240x240
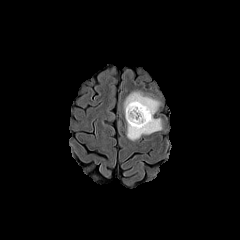
FLAIR MR image.
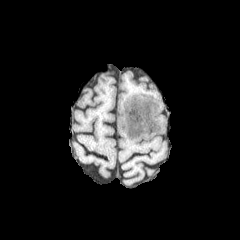
T1-weighted magnetic resonance of the same slice.
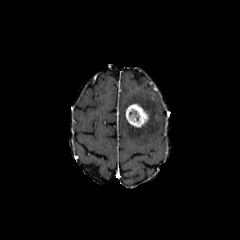
Post-contrast T1-weighted MR of the same slice.
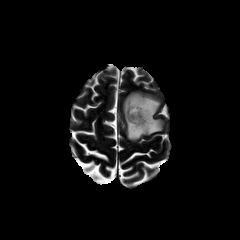
T2-weighted magnetic resonance of the same slice.
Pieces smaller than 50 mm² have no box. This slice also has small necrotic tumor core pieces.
The enhancing tumor is located at bbox=[125, 103, 148, 127]. The peritumoral edema appears at bbox=[123, 91, 162, 140].